FLAIR MR image.
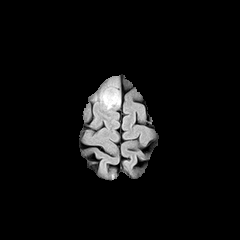
T1-weighted magnetic resonance.
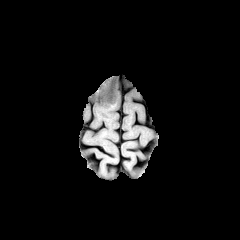
Post-contrast T1-weighted MR image.
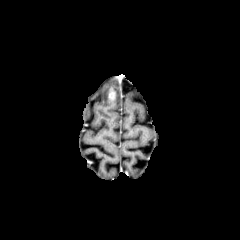
T2-weighted magnetic resonance.
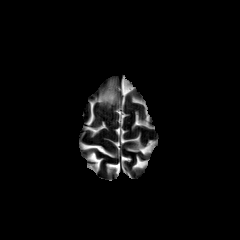
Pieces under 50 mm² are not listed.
enhancing_tumor:
  - {"x1": 108, "y1": 88, "x2": 114, "y2": 100}
peritumoral_edema:
  - {"x1": 99, "y1": 82, "x2": 120, "y2": 109}